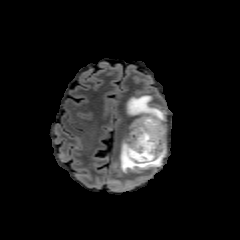
FLAIR MR image.
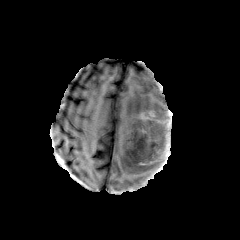
Same slice, T1-weighted MR.
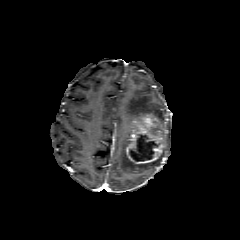
Post-contrast T1-weighted MR.
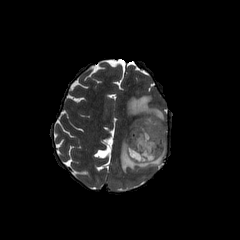
T2-weighted MRI of the same slice.
Head, Axial plane
{
  "enhancing_tumor": [
    "<bbox>125, 114, 166, 165</bbox>"
  ],
  "peritumoral_edema": [
    "<bbox>126, 95, 165, 122</bbox>",
    "<bbox>119, 140, 161, 173</bbox>"
  ],
  "necrotic_tumor_core": [
    "<bbox>129, 134, 158, 161</bbox>"
  ]
}